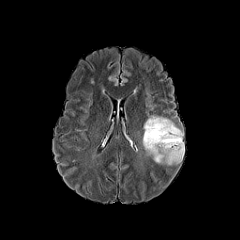
FLAIR magnetic resonance.
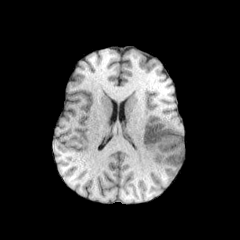
T1-weighted MR image.
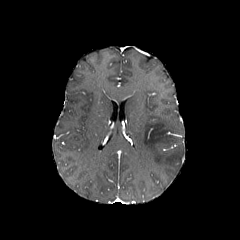
Post-contrast T1-weighted MRI.
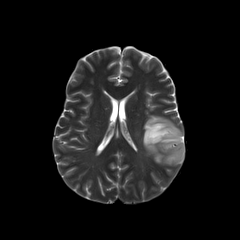
T2-weighted MRI.
Brain.
peritumoral edema: (142,115,184,165)